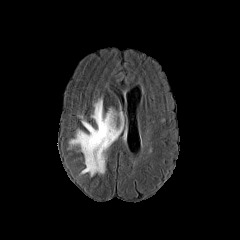
FLAIR MR.
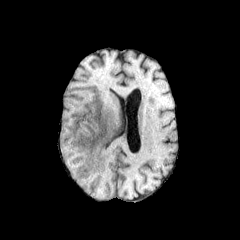
T1-weighted magnetic resonance.
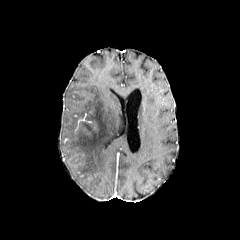
Post-contrast T1-weighted MRI of the same slice.
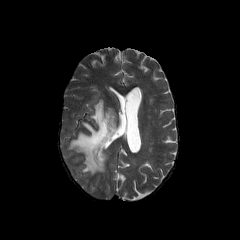
T2-weighted MR.
Axial slice | Image size 240x240
peritumoral edema = (x1=70, y1=99, x2=123, y2=176)